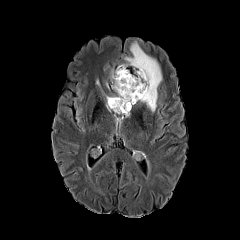
FLAIR magnetic resonance.
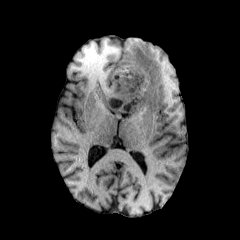
T1-weighted magnetic resonance.
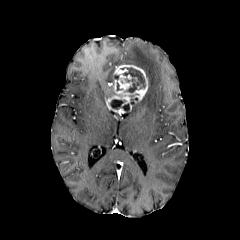
Post-contrast T1-weighted MR.
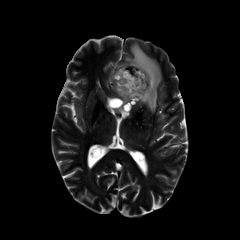
Same slice, T2-weighted MRI.
Head
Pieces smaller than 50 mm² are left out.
enhancing_tumor:
  - (x1=106, y1=64, x2=148, y2=115)
peritumoral_edema:
  - (x1=124, y1=42, x2=161, y2=112)
necrotic_tumor_core:
  - (x1=110, y1=99, x2=129, y2=112)
  - (x1=123, y1=68, x2=145, y2=92)